FLAIR magnetic resonance.
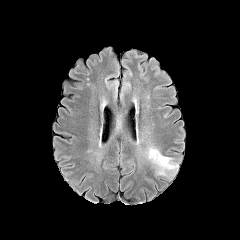
T1-weighted magnetic resonance.
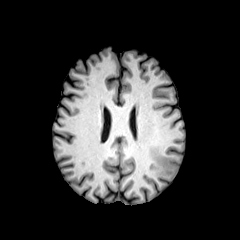
Post-contrast T1-weighted MR.
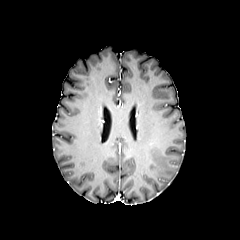
T2-weighted magnetic resonance.
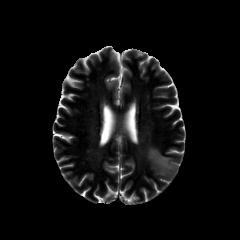
The peritumoral edema is at {"x1": 146, "y1": 147, "x2": 179, "y2": 179}.